Slice 83/155 | Axial view | Image covers 240 mm x 240 mm | 240x240 px
FLAIR magnetic resonance.
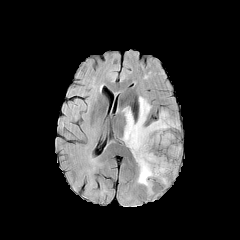
T1-weighted magnetic resonance.
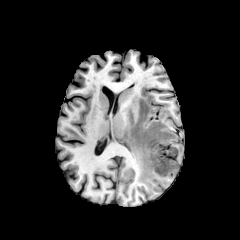
Post-contrast T1-weighted MR.
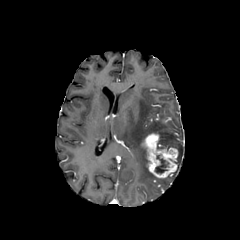
T2-weighted magnetic resonance.
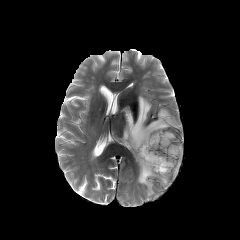
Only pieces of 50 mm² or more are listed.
Findings:
* necrotic tumor core: left=155, top=156, right=166, bottom=173
* peritumoral edema: left=168, top=145, right=181, bottom=157; left=157, top=177, right=167, bottom=184; left=122, top=96, right=179, bottom=194
* enhancing tumor: left=141, top=133, right=178, bottom=178